Image covers 240 mm x 240 mm | Brain | 240x240 px | Slice 66 of 155
FLAIR MRI.
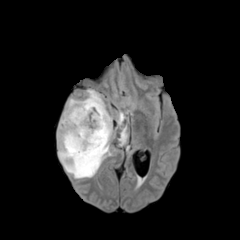
T1-weighted MR image.
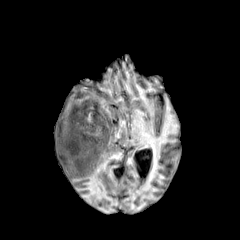
Post-contrast T1-weighted MR image.
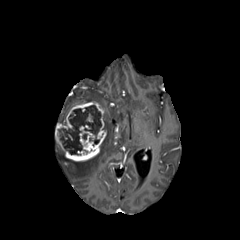
T2-weighted MR image.
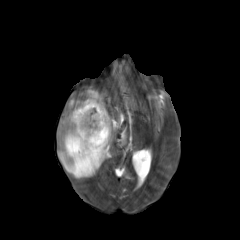
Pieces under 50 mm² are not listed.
The largest enhancing tumor region is located at bbox(55, 101, 106, 161). The largest necrotic tumor core region lies within bbox(59, 105, 101, 154). The 3 largest peritumoral edema regions are located at bbox(118, 112, 124, 124); bbox(119, 127, 126, 144); bbox(58, 89, 112, 178).